FLAIR MR.
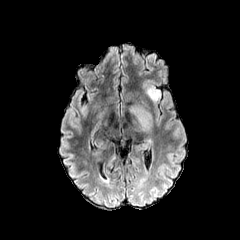
T1-weighted MR image.
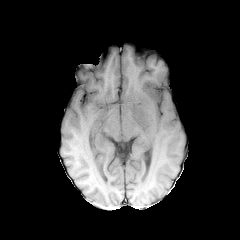
Post-contrast T1-weighted magnetic resonance.
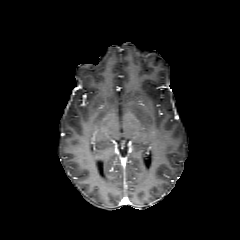
T2-weighted magnetic resonance.
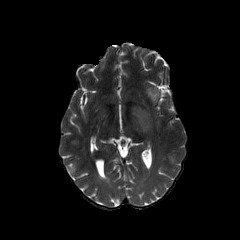
Axial slice
Segmented structures:
* peritumoral edema: box(146, 86, 160, 103); box(130, 105, 153, 128)